FLAIR MRI.
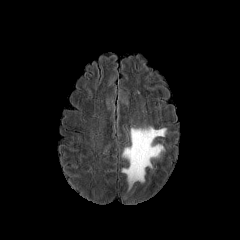
T1-weighted MR.
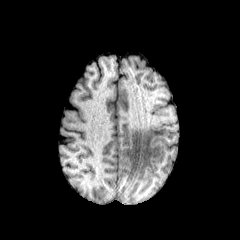
Post-contrast T1-weighted MR image.
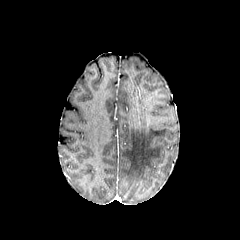
T2-weighted MR.
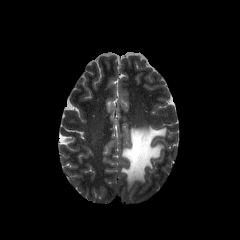
240x240 px
The peritumoral edema is at l=121, t=126, r=166, b=188.